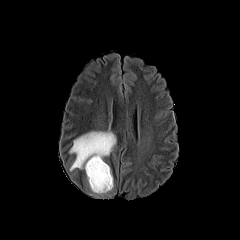
FLAIR magnetic resonance.
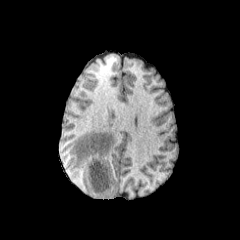
Same slice, T1-weighted magnetic resonance.
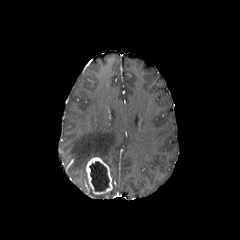
Post-contrast T1-weighted MRI of the same slice.
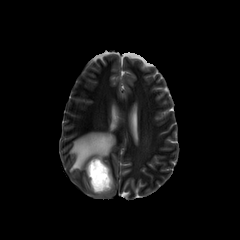
Same slice, T2-weighted MRI.
Axial plane, Brain
The necrotic tumor core lies within [89, 161, 109, 191]. The enhancing tumor lies within [86, 157, 112, 194]. The peritumoral edema lies within [69, 131, 116, 171].